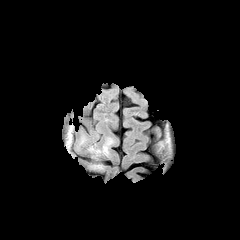
FLAIR MR.
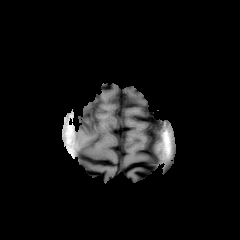
T1-weighted magnetic resonance.
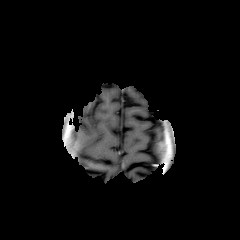
Post-contrast T1-weighted MR of the same slice.
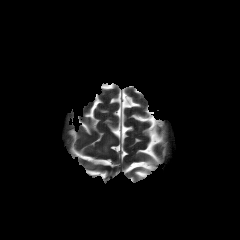
Same slice, T2-weighted magnetic resonance.
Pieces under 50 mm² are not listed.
peritumoral edema at l=96, t=138, r=113, b=154